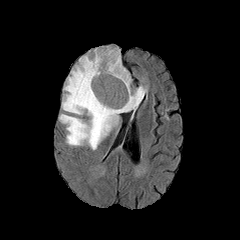
FLAIR MR image.
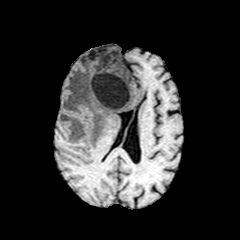
T1-weighted MRI of the same slice.
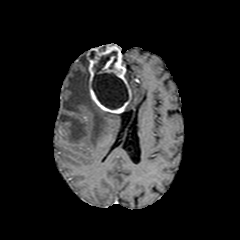
Same slice, post-contrast T1-weighted MR.
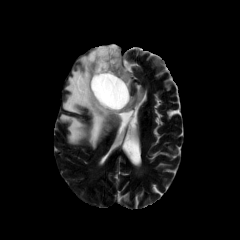
T2-weighted MRI.
Axial view | Brain | 240x240
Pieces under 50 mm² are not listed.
{
  "peritumoral_edema": [
    "region(59, 55, 119, 149)",
    "region(125, 70, 131, 87)",
    "region(124, 86, 146, 111)"
  ],
  "necrotic_tumor_core": [
    "region(91, 51, 128, 109)"
  ],
  "enhancing_tumor": [
    "region(87, 44, 131, 113)"
  ]
}